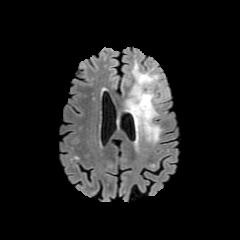
FLAIR magnetic resonance.
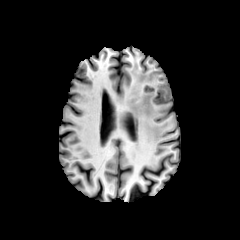
Same slice, T1-weighted MRI.
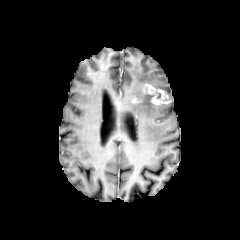
Post-contrast T1-weighted MR.
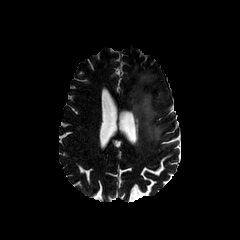
T2-weighted MRI.
Brain, 240x240
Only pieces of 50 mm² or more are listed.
Findings:
* enhancing tumor: [x1=142, y1=83, x2=168, y2=104]
* peritumoral edema: [x1=123, y1=63, x2=162, y2=142]